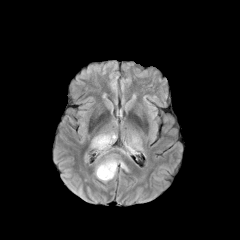
FLAIR magnetic resonance.
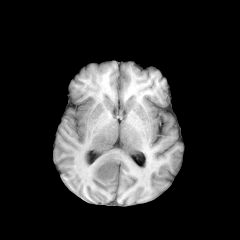
T1-weighted MRI of the same slice.
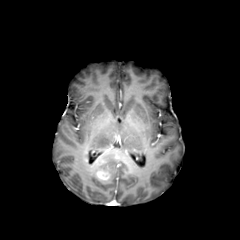
Post-contrast T1-weighted MR image.
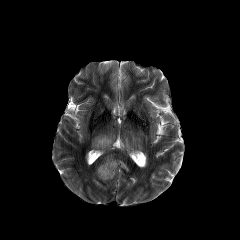
T2-weighted MRI of the same slice.
Brain; 240x240 px
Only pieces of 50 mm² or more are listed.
{"peritumoral_edema": ["x1=121, y1=142, x2=136, y2=155", "x1=99, y1=154, x2=128, y2=179", "x1=92, y1=134, x2=115, y2=156"], "enhancing_tumor": ["x1=95, y1=160, x2=110, y2=180"]}